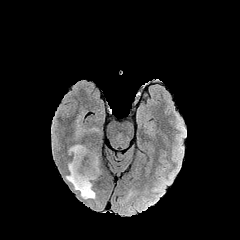
FLAIR MRI.
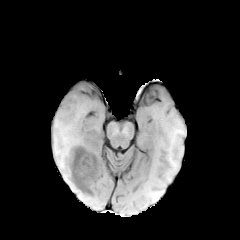
Same slice, T1-weighted magnetic resonance.
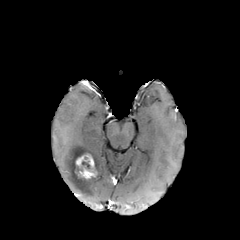
Post-contrast T1-weighted MR image.
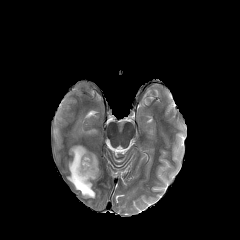
T2-weighted MR image.
Brain; 240x240
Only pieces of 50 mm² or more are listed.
enhancing_tumor:
  - box=[75, 153, 97, 179]
peritumoral_edema:
  - box=[66, 144, 99, 198]
necrotic_tumor_core:
  - box=[82, 161, 90, 169]
  - box=[75, 165, 82, 176]